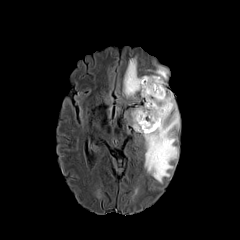
FLAIR MR.
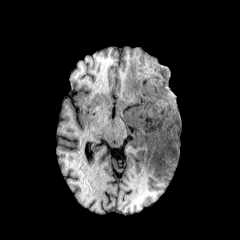
T1-weighted MR image.
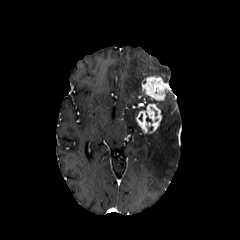
Post-contrast T1-weighted MR.
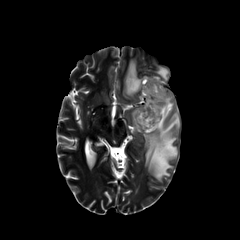
T2-weighted magnetic resonance of the same slice.
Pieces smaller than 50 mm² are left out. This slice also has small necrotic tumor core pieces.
The largest enhancing tumor region is at 135:76:168:133. 3 peritumoral edema regions are bounded by 123:58:148:97, 151:66:168:81, 131:89:179:182.